FLAIR MRI.
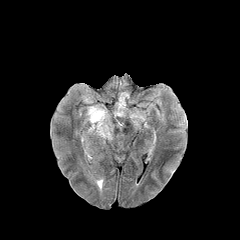
T1-weighted MRI.
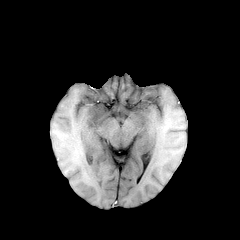
Post-contrast T1-weighted MR image.
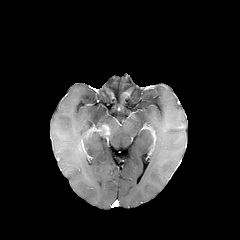
T2-weighted MR image.
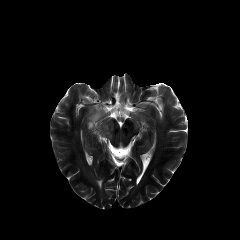
Axial plane, Head
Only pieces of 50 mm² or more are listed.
enhancing tumor at x1=89 y1=124 x2=109 y2=134
peritumoral edema at x1=87 y1=106 x2=111 y2=138